FLAIR MR image.
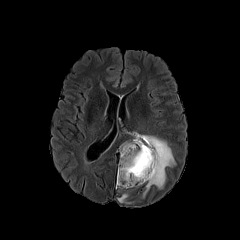
T1-weighted magnetic resonance.
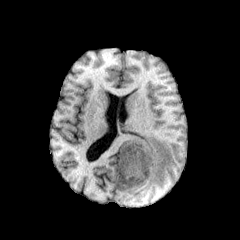
Post-contrast T1-weighted magnetic resonance.
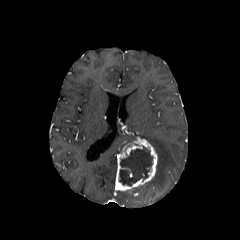
T2-weighted MR image.
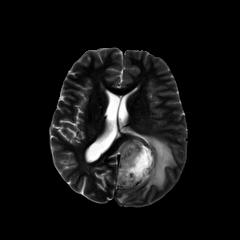
Head, Axial plane, 240x240 px
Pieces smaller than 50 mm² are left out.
enhancing_tumor:
  - bbox=[116, 136, 157, 190]
necrotic_tumor_core:
  - bbox=[119, 146, 152, 185]
peritumoral_edema:
  - bbox=[132, 135, 175, 197]
  - bbox=[117, 193, 128, 202]